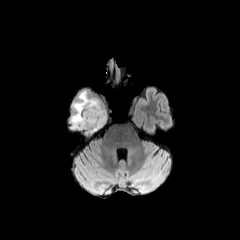
FLAIR MRI.
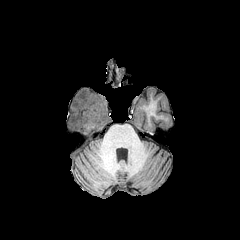
T1-weighted MRI of the same slice.
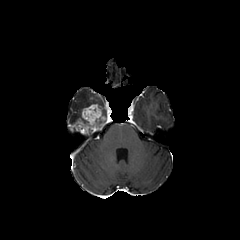
Same slice, post-contrast T1-weighted MRI.
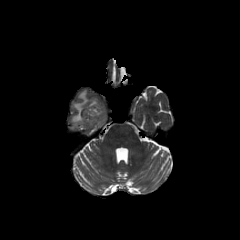
T2-weighted MRI.
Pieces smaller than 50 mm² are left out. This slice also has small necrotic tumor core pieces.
enhancing tumor = (x1=71, y1=104, x2=105, y2=142)
peritumoral edema = (x1=69, y1=90, x2=106, y2=129)